FLAIR magnetic resonance.
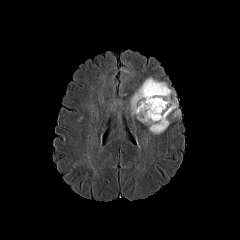
T1-weighted MR.
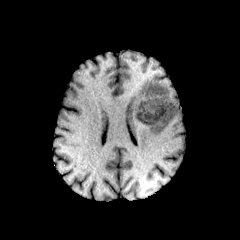
Post-contrast T1-weighted MR.
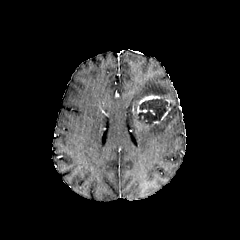
T2-weighted MR.
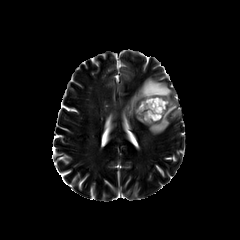
Axial slice
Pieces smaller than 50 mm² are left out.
The largest necrotic tumor core region is at bbox=[138, 98, 167, 124]. The peritumoral edema is bounded by bbox=[128, 77, 180, 134]. The largest enhancing tumor region is bounded by bbox=[135, 95, 175, 125].